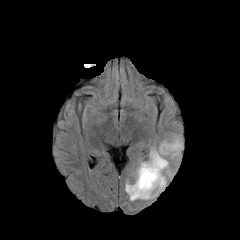
FLAIR MR.
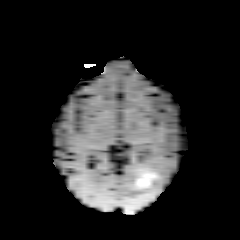
T1-weighted magnetic resonance.
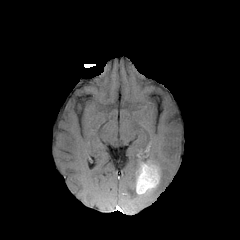
Post-contrast T1-weighted MRI.
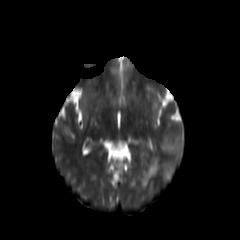
T2-weighted MR image.
The enhancing tumor is bounded by (left=136, top=162, right=160, bottom=194). The peritumoral edema appears at (left=125, top=134, right=183, bottom=201).